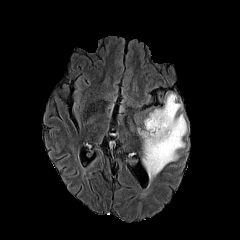
FLAIR MR.
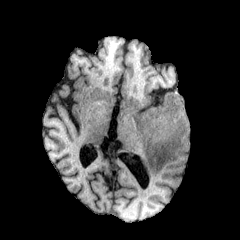
T1-weighted MR image of the same slice.
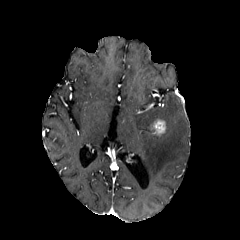
Post-contrast T1-weighted magnetic resonance.
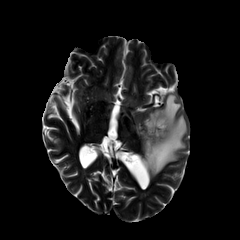
T2-weighted MRI of the same slice.
Brain. Axial plane. 240x240 px.
peritumoral edema: region(138, 93, 187, 180) | enhancing tumor: region(150, 119, 166, 136)